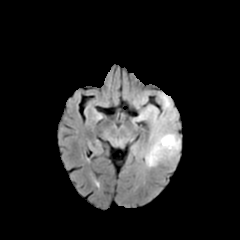
FLAIR MR.
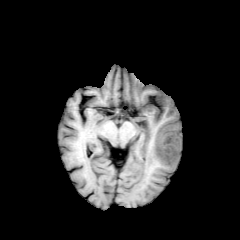
Same slice, T1-weighted MR image.
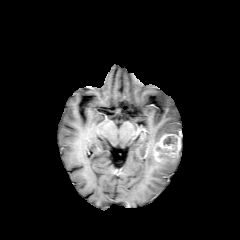
Post-contrast T1-weighted MR of the same slice.
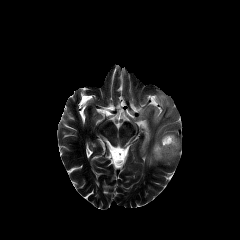
T2-weighted MR.
Axial plane. 240x240 px.
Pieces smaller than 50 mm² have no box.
enhancing tumor: bounding box <bbox>154, 134, 180, 161</bbox>
peritumoral edema: bounding box <bbox>132, 91, 180, 167</bbox>
necrotic tumor core: bounding box <bbox>163, 136, 176, 145</bbox>